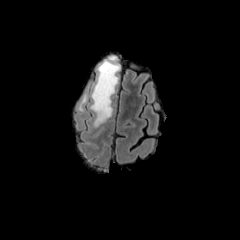
FLAIR MR.
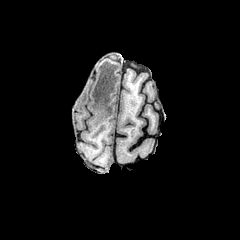
T1-weighted MRI.
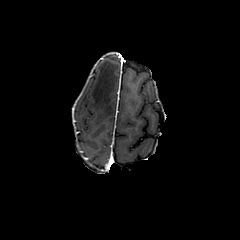
Post-contrast T1-weighted MR of the same slice.
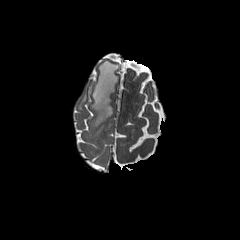
T2-weighted MRI of the same slice.
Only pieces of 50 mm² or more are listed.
{
  "peritumoral_edema": [
    "left=90, top=55, right=119, bottom=126"
  ]
}